Slice 58 of 155; Brain
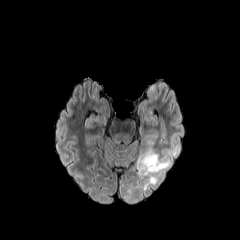
FLAIR magnetic resonance.
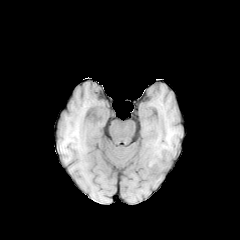
T1-weighted MRI of the same slice.
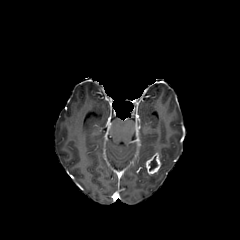
Same slice, post-contrast T1-weighted MR image.
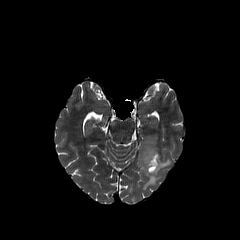
Same slice, T2-weighted MR image.
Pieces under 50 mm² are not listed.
necrotic_tumor_core:
  - x1=150 y1=156 x2=157 y2=169
enhancing_tumor:
  - x1=145 y1=153 x2=161 y2=174
peritumoral_edema:
  - x1=137 y1=140 x2=170 y2=189